Head. Axial slice. Image size 240x240.
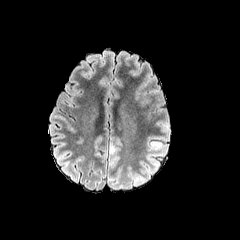
FLAIR MR.
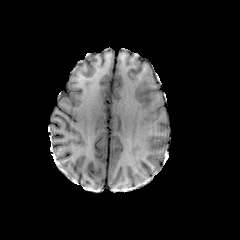
T1-weighted MR.
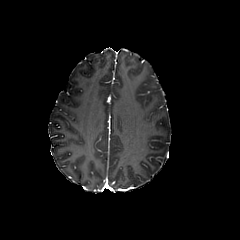
Post-contrast T1-weighted MR of the same slice.
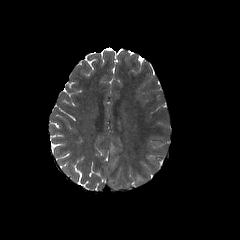
T2-weighted MR.
Findings:
• peritumoral edema: (left=152, top=142, right=163, bottom=148), (left=151, top=158, right=157, bottom=170)